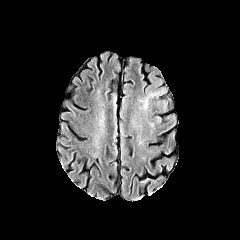
FLAIR magnetic resonance.
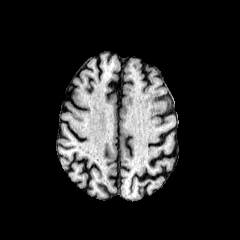
T1-weighted magnetic resonance.
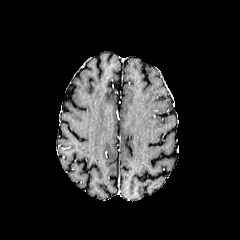
Post-contrast T1-weighted MR image.
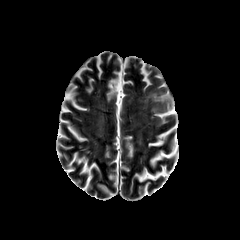
T2-weighted MR image.
Axial plane
peritumoral edema: [141, 93, 157, 108]